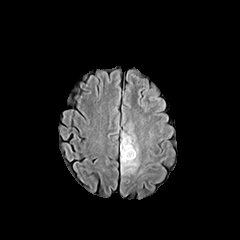
FLAIR MR image.
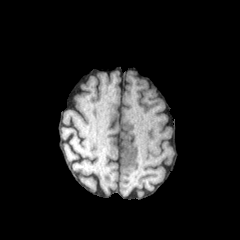
T1-weighted MR image of the same slice.
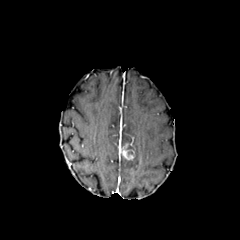
Post-contrast T1-weighted MR image.
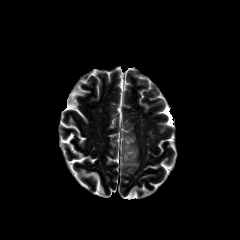
T2-weighted magnetic resonance.
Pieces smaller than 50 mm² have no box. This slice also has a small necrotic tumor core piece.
Findings:
- enhancing tumor: (120, 143, 135, 160)
- peritumoral edema: (120, 140, 139, 174), (121, 132, 131, 147)